FLAIR MRI.
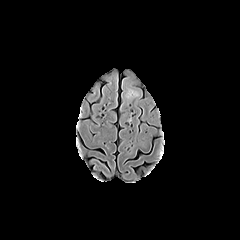
T1-weighted MR image.
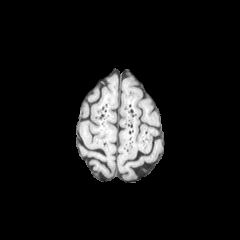
Post-contrast T1-weighted MR.
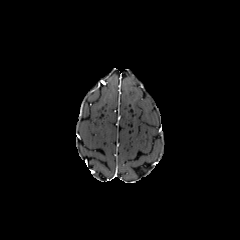
T2-weighted MR image.
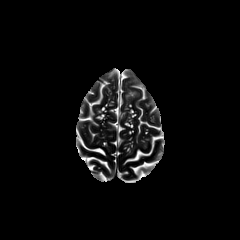
Axial slice. Head.
Annotated regions:
- peritumoral edema: [128,89,138,97]